Axial view. Slice index 108. Head.
FLAIR MR image.
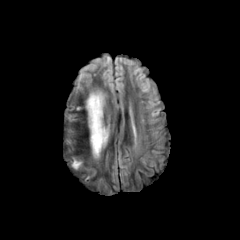
T1-weighted magnetic resonance.
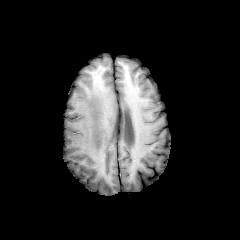
Post-contrast T1-weighted MR image.
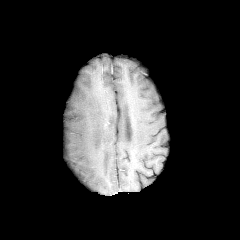
T2-weighted magnetic resonance.
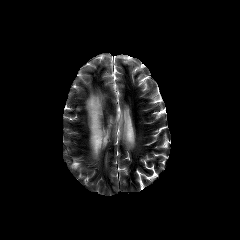
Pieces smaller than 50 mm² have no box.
The largest peritumoral edema region appears at (87, 94, 107, 156).